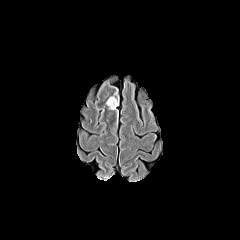
FLAIR magnetic resonance.
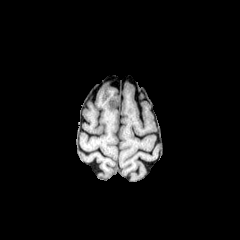
T1-weighted magnetic resonance.
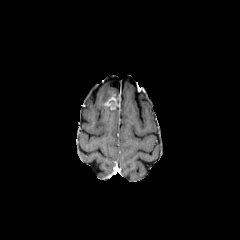
Post-contrast T1-weighted MR.
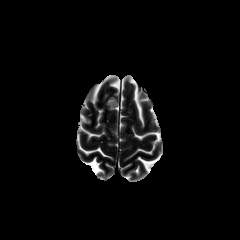
T2-weighted MRI.
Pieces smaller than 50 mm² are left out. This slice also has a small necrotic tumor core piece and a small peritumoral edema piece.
<segmentation>
  <enhancing_tumor>box(105, 96, 118, 109)</enhancing_tumor>
</segmentation>